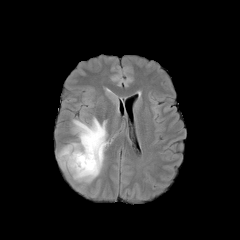
FLAIR MR.
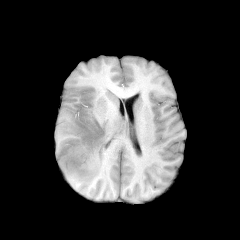
T1-weighted MRI.
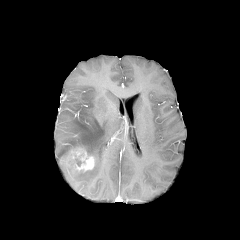
Post-contrast T1-weighted MR.
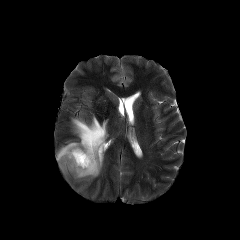
T2-weighted MRI of the same slice.
240x240 | Brain
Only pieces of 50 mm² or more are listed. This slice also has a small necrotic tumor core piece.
The peritumoral edema is bounded by 57:117:107:182. The enhancing tumor is located at 60:147:95:172.